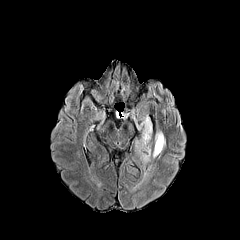
FLAIR MR.
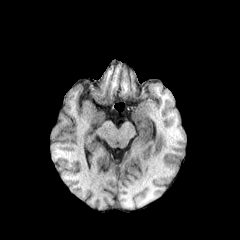
T1-weighted MRI of the same slice.
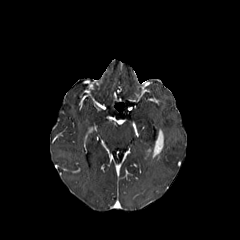
Post-contrast T1-weighted MR image of the same slice.
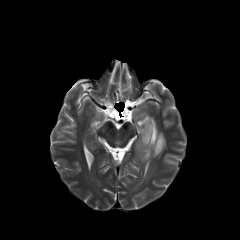
T2-weighted MR.
Axial view
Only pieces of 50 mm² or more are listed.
Findings:
• enhancing tumor: x1=153, y1=129, x2=163, y2=157
• peritumoral edema: x1=135, y1=115, x2=152, y2=162